Axial slice | 240x240
FLAIR MRI.
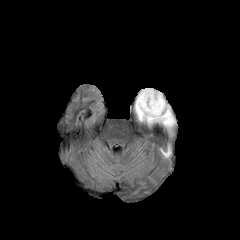
T1-weighted MRI.
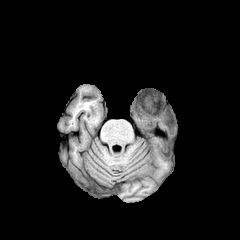
Post-contrast T1-weighted magnetic resonance.
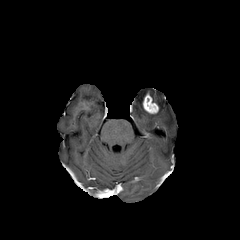
T2-weighted magnetic resonance.
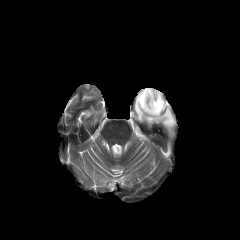
Segmented structures:
* enhancing tumor: [143, 93, 158, 113]
* peritumoral edema: [134, 88, 175, 131], [161, 145, 170, 157]